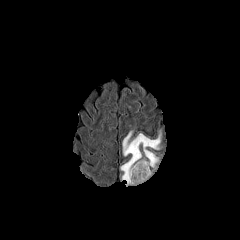
FLAIR MR image.
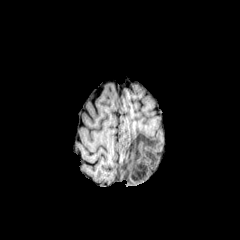
T1-weighted MR of the same slice.
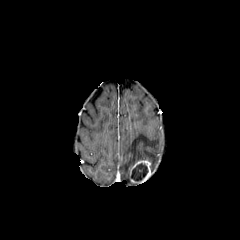
Post-contrast T1-weighted MR.
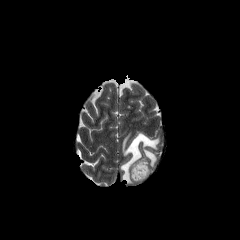
T2-weighted magnetic resonance.
Findings:
* peritumoral edema: x1=120 y1=128 x2=162 y2=186
* necrotic tumor core: x1=130 y1=163 x2=148 y2=181
* enhancing tumor: x1=129 y1=160 x2=151 y2=183